FLAIR magnetic resonance.
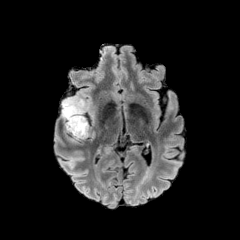
T1-weighted magnetic resonance.
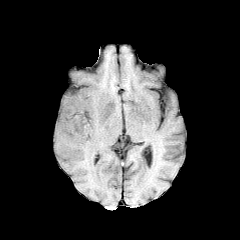
Post-contrast T1-weighted MRI.
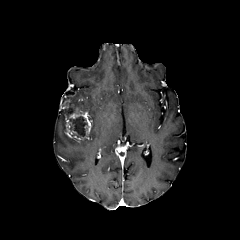
T2-weighted magnetic resonance.
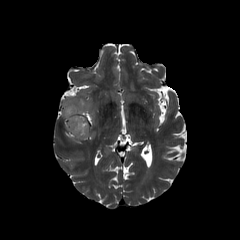
Axial slice; Head
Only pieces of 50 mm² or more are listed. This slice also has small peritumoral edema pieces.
Segmented structures:
- enhancing tumor: box=[61, 98, 91, 141]
- necrotic tumor core: box=[65, 107, 74, 116]; box=[69, 116, 87, 136]